Head. Axial view. Slice 132 of 155.
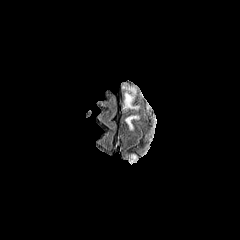
FLAIR MRI.
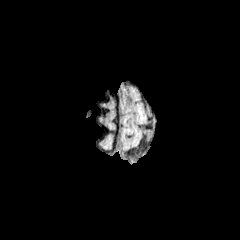
T1-weighted MRI.
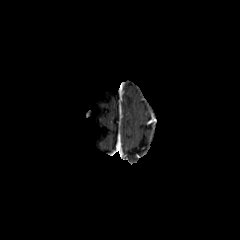
Post-contrast T1-weighted MR of the same slice.
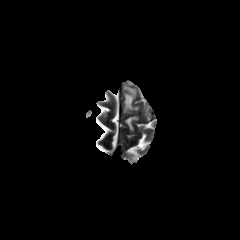
T2-weighted MR image.
<segmentation>
  <peritumoral_edema>region(125, 116, 137, 129); region(128, 153, 136, 161); region(124, 88, 138, 109)</peritumoral_edema>
</segmentation>